Brain
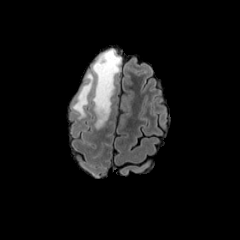
FLAIR MR image.
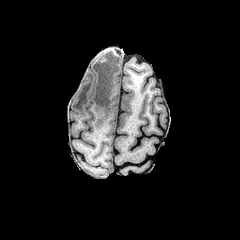
Same slice, T1-weighted MR.
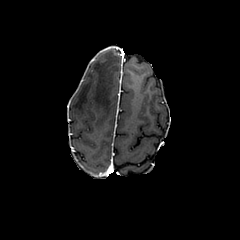
Same slice, post-contrast T1-weighted MRI.
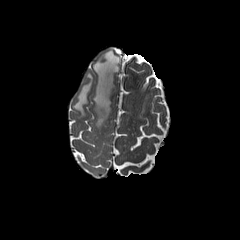
T2-weighted MR image.
{"peritumoral_edema": ["box=[92, 48, 121, 128]", "box=[73, 73, 93, 118]"]}